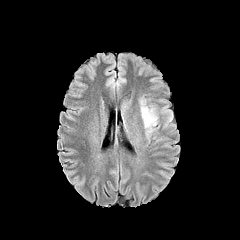
FLAIR magnetic resonance.
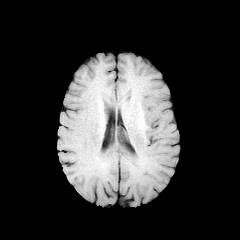
T1-weighted magnetic resonance.
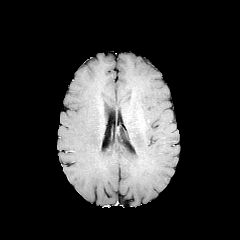
Post-contrast T1-weighted magnetic resonance.
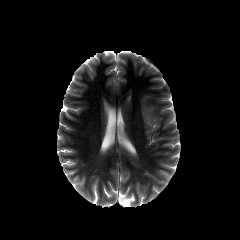
T2-weighted MR.
Axial slice | Head | 240x240
peritumoral edema: rect(142, 107, 156, 126)